Slice 36/155 | Brain
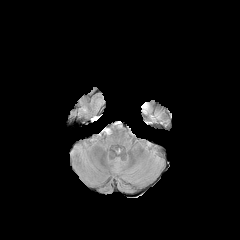
FLAIR MRI.
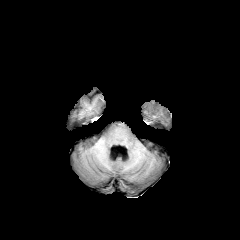
T1-weighted MRI.
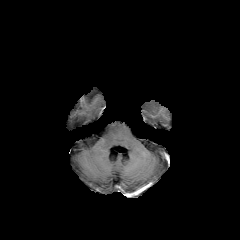
Post-contrast T1-weighted magnetic resonance.
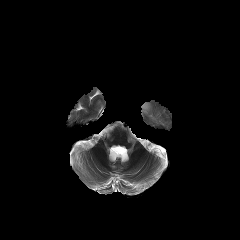
T2-weighted MR image.
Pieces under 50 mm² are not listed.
Segmented structures:
* peritumoral edema: left=141, top=102, right=149, bottom=113